Head.
FLAIR MRI.
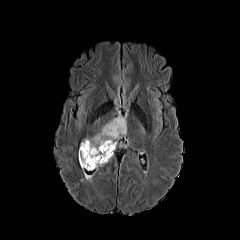
T1-weighted magnetic resonance.
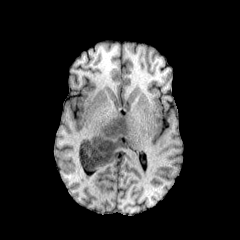
Post-contrast T1-weighted MR image.
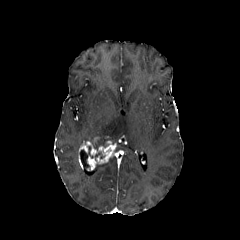
T2-weighted MR.
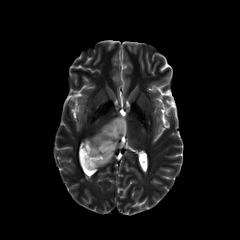
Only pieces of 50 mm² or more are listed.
The 2 largest necrotic tumor core regions are bounded by <box>80,146,90,168</box>, <box>93,139,105,149</box>. The enhancing tumor appears at <box>78,136,116,170</box>. The largest peritumoral edema region lies within <box>94,114,126,142</box>.